Slice index 64. Image size 240x240.
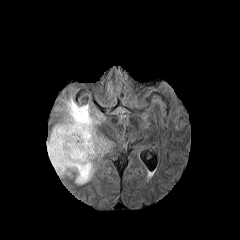
FLAIR magnetic resonance.
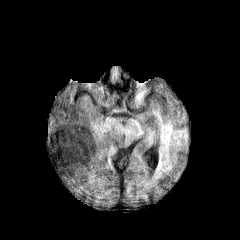
Same slice, T1-weighted MR image.
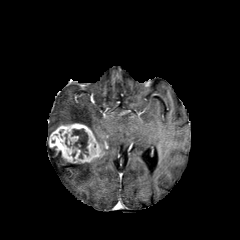
Post-contrast T1-weighted magnetic resonance.
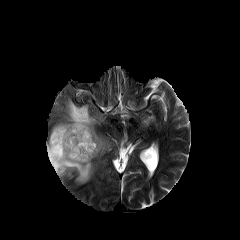
T2-weighted magnetic resonance of the same slice.
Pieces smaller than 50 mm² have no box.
Annotated regions:
• enhancing tumor: region(48, 123, 107, 166)
• necrotic tumor core: region(72, 129, 88, 158)
• peritumoral edema: region(52, 97, 110, 147); region(47, 141, 95, 184)